FLAIR MR.
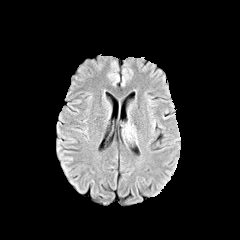
T1-weighted magnetic resonance.
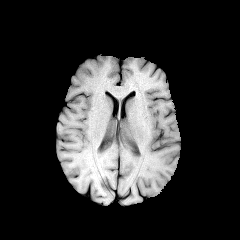
Post-contrast T1-weighted MRI.
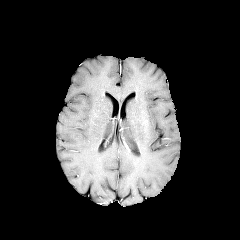
T2-weighted MR.
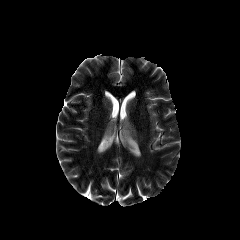
Segmented structures:
- peritumoral edema: box=[123, 125, 135, 140]